240x240 px. Slice 56/155.
FLAIR MR image.
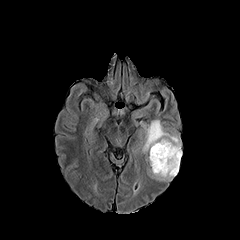
T1-weighted MR image.
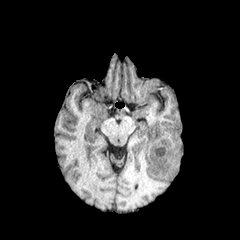
Post-contrast T1-weighted magnetic resonance.
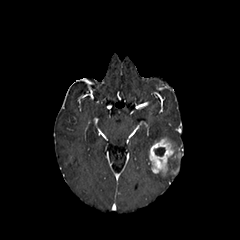
T2-weighted MR.
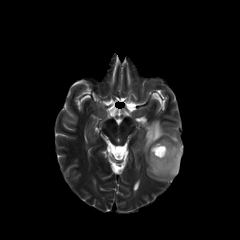
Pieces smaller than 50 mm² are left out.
enhancing_tumor:
  - [149, 137, 181, 176]
necrotic_tumor_core:
  - [154, 147, 165, 156]
peritumoral_edema:
  - [142, 120, 181, 153]
  - [150, 158, 180, 180]